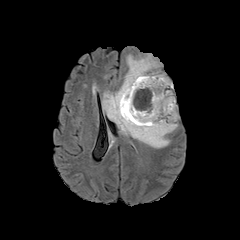
FLAIR MRI.
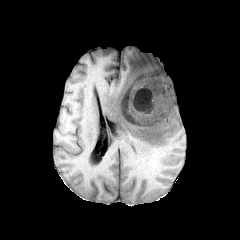
T1-weighted MR.
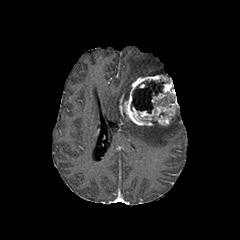
Post-contrast T1-weighted magnetic resonance.
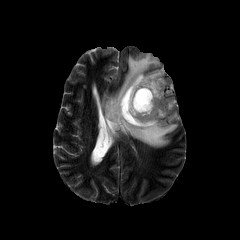
T2-weighted magnetic resonance of the same slice.
240x240 px | Head
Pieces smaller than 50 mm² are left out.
• enhancing tumor: (left=119, top=73, right=177, bottom=125)
• peritumoral edema: (left=102, top=53, right=179, bottom=148)
• necrotic tumor core: (left=131, top=79, right=167, bottom=113)